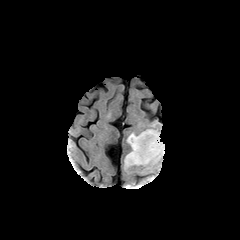
FLAIR MR image.
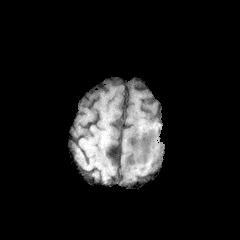
T1-weighted MR image of the same slice.
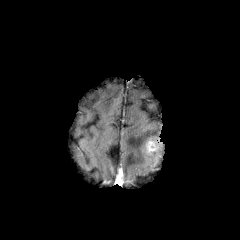
Same slice, post-contrast T1-weighted MRI.
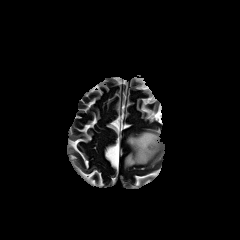
Same slice, T2-weighted MR image.
Head
The enhancing tumor is located at region(142, 136, 161, 164). 2 peritumoral edema regions are located at region(124, 129, 159, 168); region(158, 143, 164, 159).